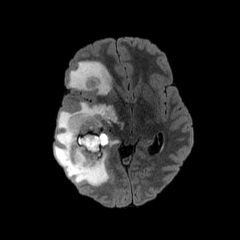
FLAIR magnetic resonance.
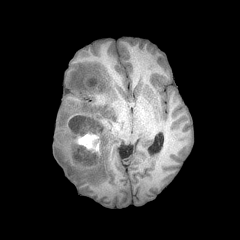
T1-weighted magnetic resonance.
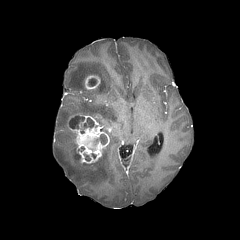
Post-contrast T1-weighted magnetic resonance.
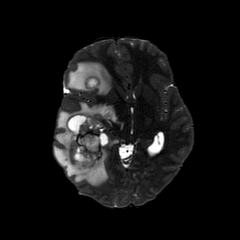
T2-weighted MR.
240x240; Axial plane
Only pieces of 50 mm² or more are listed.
enhancing tumor at x1=84 y1=75 x2=100 y2=89, x1=68 y1=114 x2=109 y2=163
peritumoral edema at x1=67 y1=61 x2=111 y2=94, x1=54 y1=102 x2=119 y2=186
necrotic tumor core at x1=69 y1=116 x2=84 y2=128, x1=88 y1=78 x2=96 y2=86, x1=79 y1=134 x2=107 y2=149, x1=83 y1=118 x2=94 y2=128